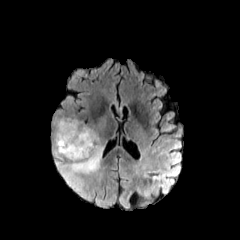
FLAIR MRI.
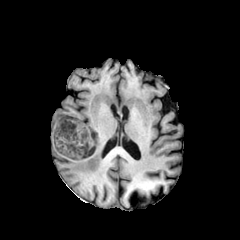
Same slice, T1-weighted magnetic resonance.
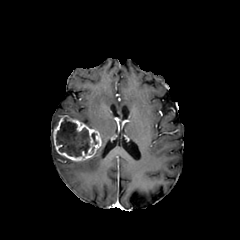
Post-contrast T1-weighted MR image of the same slice.
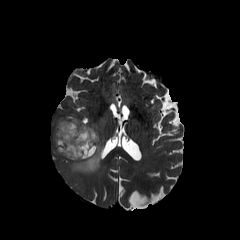
T2-weighted MRI.
Axial plane | Brain
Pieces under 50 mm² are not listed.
enhancing tumor = left=53, top=115, right=101, bottom=161
peritumoral edema = left=52, top=115, right=107, bottom=201; left=52, top=111, right=64, bottom=130
necrotic tumor core = left=56, top=118, right=90, bottom=156